FLAIR magnetic resonance.
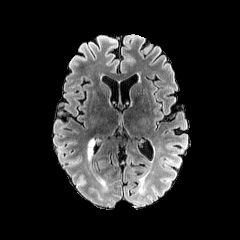
T1-weighted magnetic resonance.
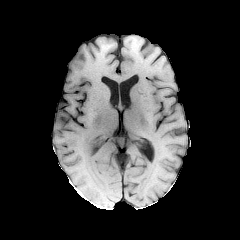
Post-contrast T1-weighted MR.
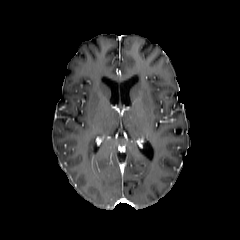
T2-weighted MR image.
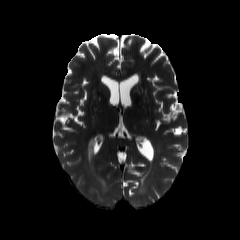
240x240. Brain.
{"peritumoral_edema": ["(left=87, top=139, right=95, bottom=161)"]}